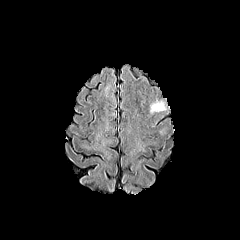
FLAIR MRI.
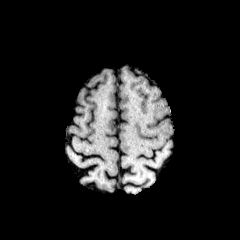
T1-weighted MR.
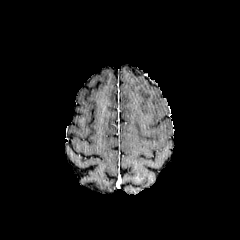
Post-contrast T1-weighted magnetic resonance.
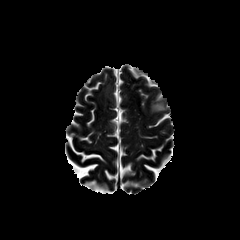
T2-weighted MR.
240x240; Axial slice
peritumoral edema at (150, 101, 165, 113)